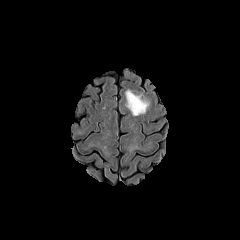
FLAIR MRI.
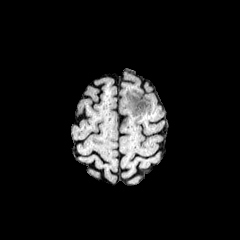
T1-weighted MR of the same slice.
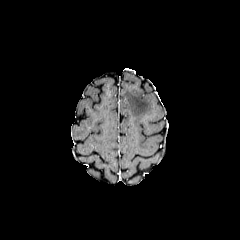
Post-contrast T1-weighted magnetic resonance.
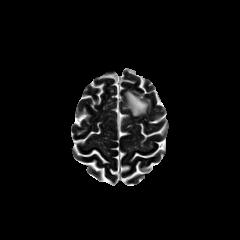
T2-weighted MRI of the same slice.
Axial view, Brain
The peritumoral edema lies within bbox(125, 89, 149, 115).